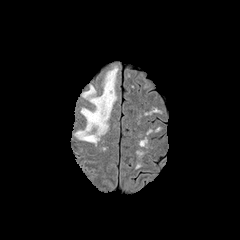
FLAIR magnetic resonance.
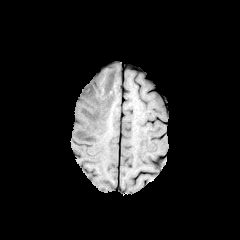
T1-weighted MRI.
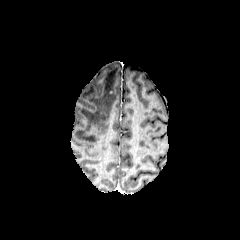
Post-contrast T1-weighted MR.
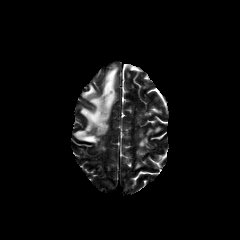
T2-weighted MR image of the same slice.
Axial view; Brain
peritumoral edema — [x1=74, y1=66, x2=118, y2=144]